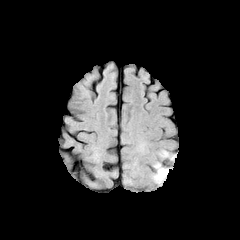
FLAIR MRI.
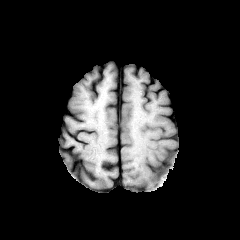
Same slice, T1-weighted magnetic resonance.
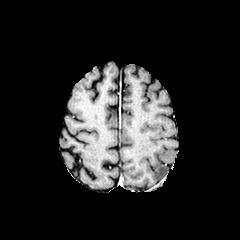
Same slice, post-contrast T1-weighted MR image.
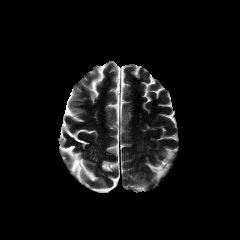
Same slice, T2-weighted MRI.
Head, Axial slice
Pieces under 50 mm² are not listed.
The largest peritumoral edema region is located at x1=154, y1=164, x2=167, y2=181.